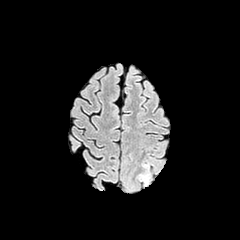
FLAIR MRI.
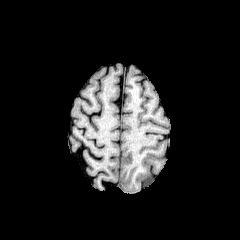
Same slice, T1-weighted MR image.
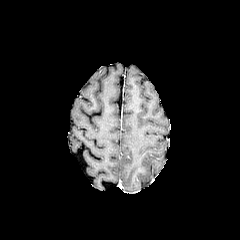
Post-contrast T1-weighted MR.
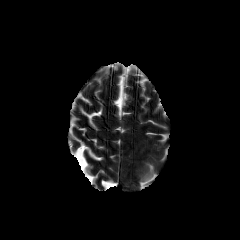
Same slice, T2-weighted MR.
240x240
{
  "peritumoral_edema": [
    "left=142, top=173, right=150, bottom=186"
  ]
}